Axial view, Brain
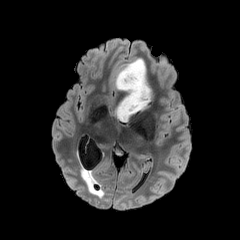
FLAIR MRI.
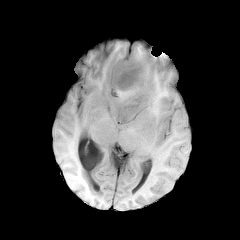
T1-weighted magnetic resonance.
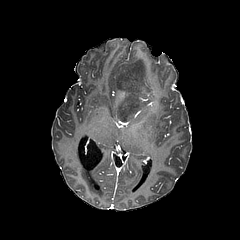
Post-contrast T1-weighted MRI.
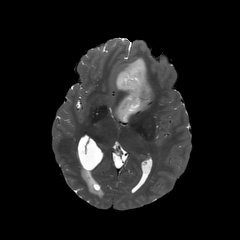
T2-weighted MR.
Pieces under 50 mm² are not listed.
peritumoral edema = [x1=114, y1=57, x2=152, y2=119]
necrotic tumor core = [x1=120, y1=110, x2=127, y2=122], [x1=118, y1=63, x2=149, y2=109]